Axial slice. Slice index 73.
FLAIR magnetic resonance.
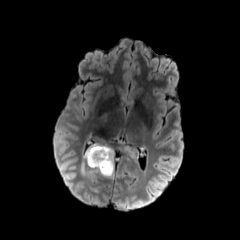
T1-weighted MR image.
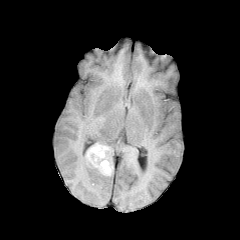
Post-contrast T1-weighted magnetic resonance.
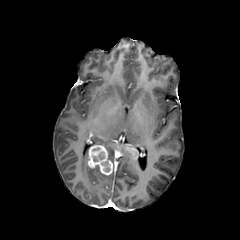
T2-weighted MRI.
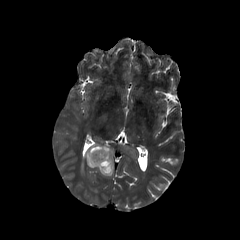
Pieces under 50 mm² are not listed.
necrotic tumor core at <bbox>101, 161, 110, 172</bbox>
peritumoral edema at <bbox>81, 147, 99, 179</bbox>, <bbox>90, 142, 114, 165</bbox>
enhancing tumor at <bbox>87, 145, 113, 175</bbox>, <bbox>124, 146, 138, 159</bbox>